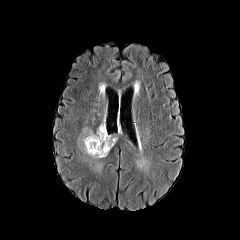
FLAIR magnetic resonance.
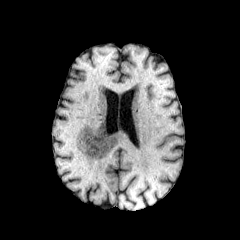
T1-weighted MR image.
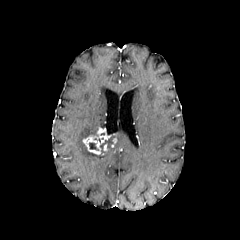
Same slice, post-contrast T1-weighted MRI.
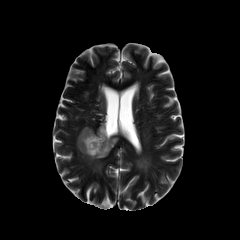
T2-weighted MR image of the same slice.
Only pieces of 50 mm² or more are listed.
Findings:
* peritumoral edema: (left=82, top=144, right=110, bottom=158), (left=77, top=127, right=94, bottom=145)
* enhancing tumor: (left=83, top=127, right=110, bottom=154)
* necrotic tumor core: (left=89, top=142, right=98, bottom=150), (left=100, top=138, right=113, bottom=153)